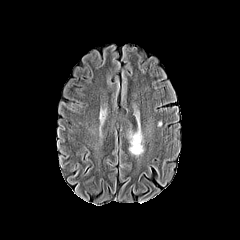
FLAIR magnetic resonance.
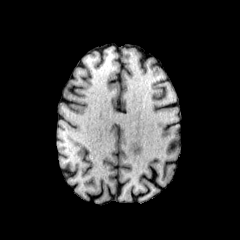
T1-weighted MRI.
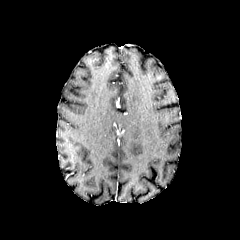
Same slice, post-contrast T1-weighted MR image.
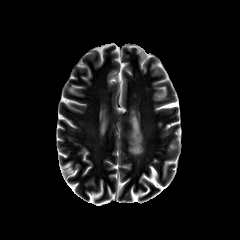
T2-weighted magnetic resonance.
The peritumoral edema appears at (x1=129, y1=129, x2=143, y2=155).